Slice 49 of 155; Image width 240 mm; Brain
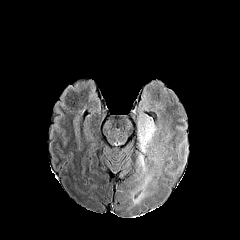
FLAIR MR image.
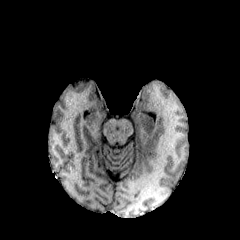
T1-weighted MRI.
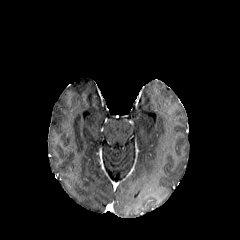
Post-contrast T1-weighted MR.
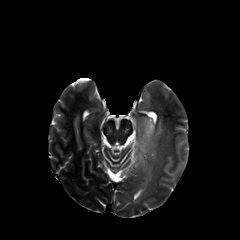
T2-weighted MR image of the same slice.
Annotated regions:
- peritumoral edema: left=139, top=119, right=155, bottom=152; left=143, top=175, right=151, bottom=187; left=139, top=155, right=145, bottom=169